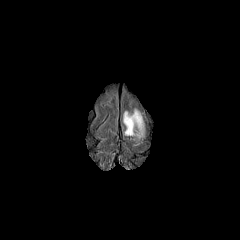
FLAIR MR.
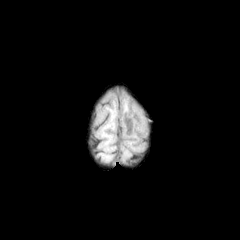
T1-weighted MR.
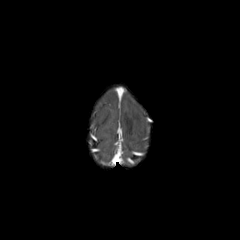
Post-contrast T1-weighted MR image.
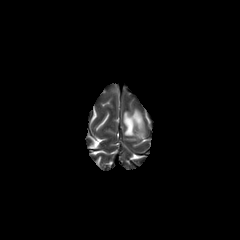
T2-weighted MR.
Brain, Axial plane
The peritumoral edema lies within (x1=123, y1=110, x2=143, y2=137).